240x240; Axial view; Image width 240 mm
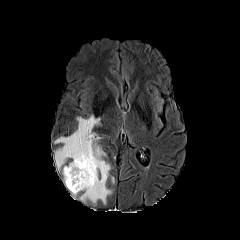
FLAIR MR image.
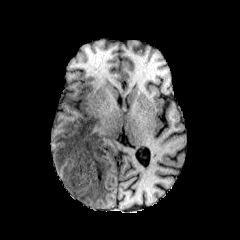
T1-weighted magnetic resonance of the same slice.
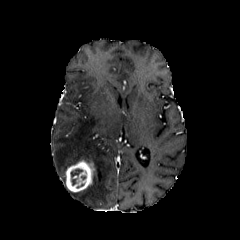
Post-contrast T1-weighted magnetic resonance of the same slice.
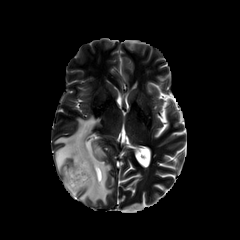
T2-weighted magnetic resonance.
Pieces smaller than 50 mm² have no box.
peritumoral edema — {"x1": 54, "y1": 115, "x2": 112, "y2": 204}
necrotic tumor core — {"x1": 71, "y1": 169, "x2": 82, "y2": 176}
enhancing tumor — {"x1": 65, "y1": 159, "x2": 95, "y2": 192}